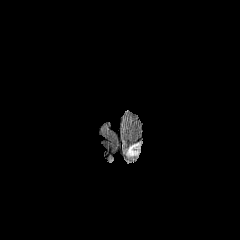
FLAIR MRI.
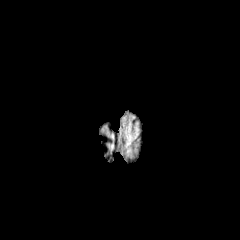
T1-weighted MRI.
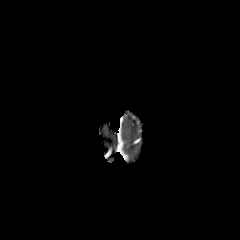
Post-contrast T1-weighted MR of the same slice.
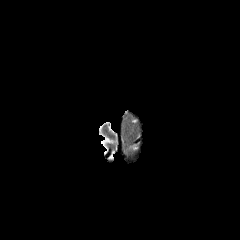
T2-weighted MR.
240x240, Brain, Axial plane
peritumoral edema — (123,140,141,157)